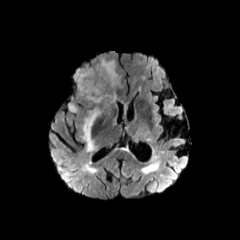
FLAIR MR image.
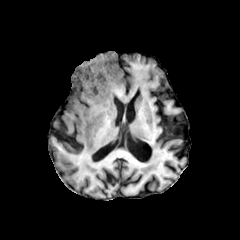
T1-weighted magnetic resonance of the same slice.
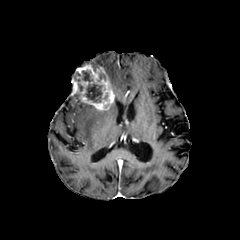
Post-contrast T1-weighted MRI.
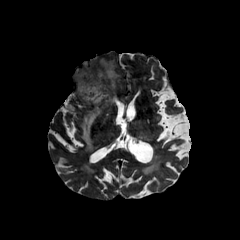
T2-weighted MRI.
Head
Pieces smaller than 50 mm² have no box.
<segmentation>
  <necrotic_tumor_core>region(85, 84, 102, 102); region(82, 71, 92, 81)</necrotic_tumor_core>
  <peritumoral_edema>region(81, 107, 101, 151); region(68, 101, 76, 111); region(101, 59, 118, 87)</peritumoral_edema>
  <enhancing_tumor>region(71, 64, 114, 110)</enhancing_tumor>
</segmentation>